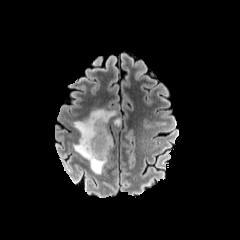
FLAIR magnetic resonance.
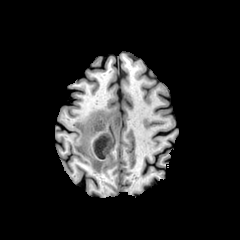
T1-weighted magnetic resonance of the same slice.
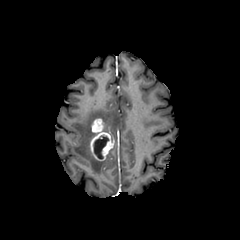
Same slice, post-contrast T1-weighted magnetic resonance.
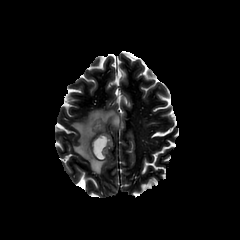
T2-weighted MR.
Head
• peritumoral edema: x1=73, y1=109, x2=120, y2=174
• necrotic tumor core: x1=93, y1=136, x2=108, y2=159
• enhancing tumor: x1=90, y1=132, x2=113, y2=160; x1=91, y1=118, x2=104, y2=133